FLAIR MR.
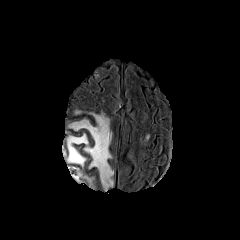
T1-weighted MR.
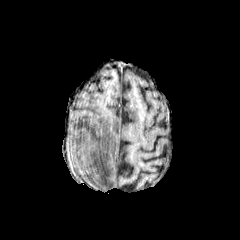
Post-contrast T1-weighted magnetic resonance.
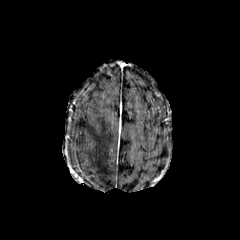
T2-weighted MRI.
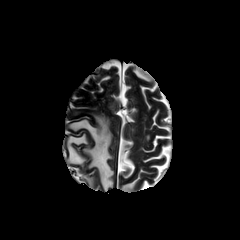
Axial plane.
peritumoral_edema:
  - (66,112,113,189)